Slice index 91; Axial slice; 240x240 px
FLAIR magnetic resonance.
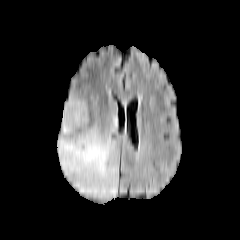
T1-weighted MR.
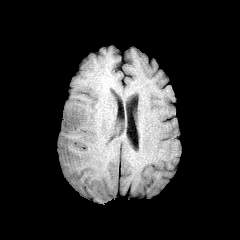
Post-contrast T1-weighted MR.
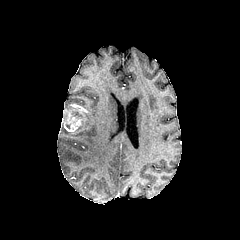
T2-weighted MR image.
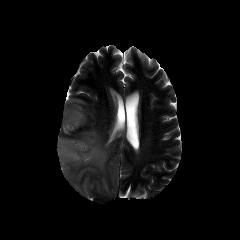
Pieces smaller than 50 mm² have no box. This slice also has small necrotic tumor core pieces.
Findings:
- enhancing tumor: box(62, 104, 87, 131)
- peritumoral edema: box(57, 111, 117, 198); box(64, 97, 86, 109)